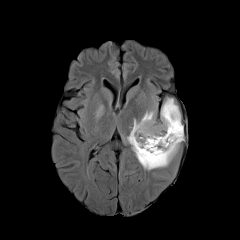
FLAIR MR.
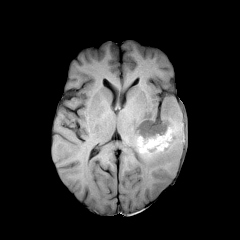
T1-weighted magnetic resonance.
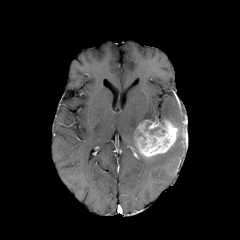
Same slice, post-contrast T1-weighted MRI.
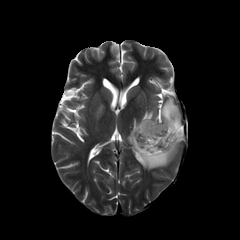
Same slice, T2-weighted MR image.
240x240.
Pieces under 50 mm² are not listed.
The largest enhancing tumor region is located at box(137, 120, 177, 157). The 2 largest necrotic tumor core regions appear at box(150, 127, 166, 136); box(138, 133, 146, 147). 2 peritumoral edema regions appear at box(95, 104, 104, 121); box(127, 97, 184, 170).